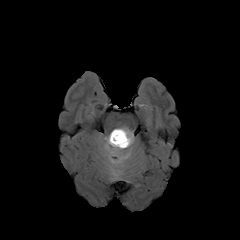
FLAIR MRI.
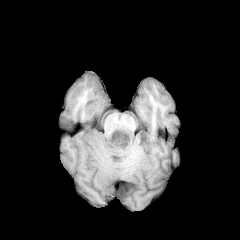
T1-weighted MRI.
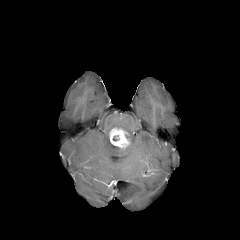
Post-contrast T1-weighted MRI.
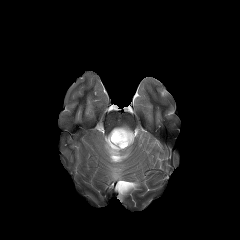
Same slice, T2-weighted MR image.
Head | Axial plane
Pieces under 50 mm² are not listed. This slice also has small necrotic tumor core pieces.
peritumoral_edema:
  - {"x1": 101, "y1": 126, "x2": 134, "y2": 179}
enhancing_tumor:
  - {"x1": 109, "y1": 128, "x2": 130, "y2": 148}